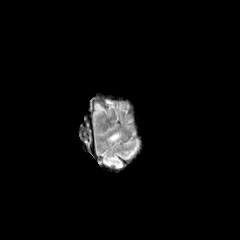
FLAIR magnetic resonance.
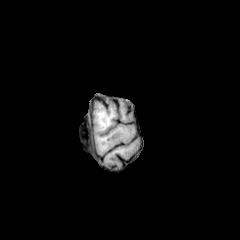
T1-weighted magnetic resonance.
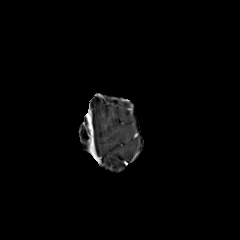
Same slice, post-contrast T1-weighted MRI.
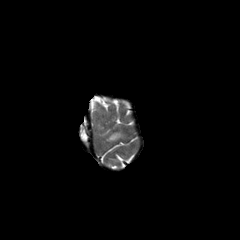
Same slice, T2-weighted MR.
Brain. Axial view.
peritumoral edema — x1=109, y1=132, x2=122, y2=141